Axial slice
FLAIR MRI.
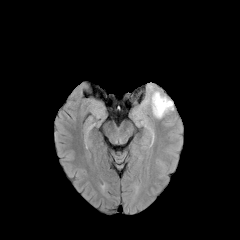
T1-weighted magnetic resonance.
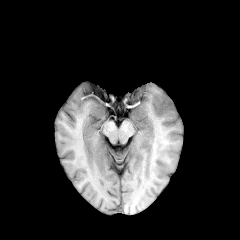
Post-contrast T1-weighted MRI.
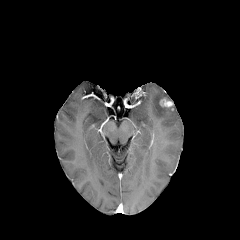
T2-weighted MRI.
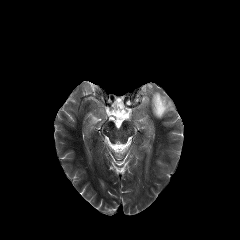
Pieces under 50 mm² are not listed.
The largest enhancing tumor region is at [x1=159, y1=98, x2=173, y2=107]. The largest peritumoral edema region appears at [x1=134, y1=83, x2=172, y2=127].